Image width 240 mm. Slice 86 of 155. Axial slice. 240x240. Brain.
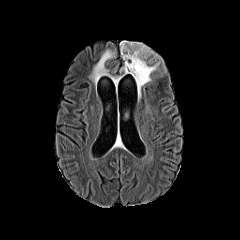
FLAIR MR image.
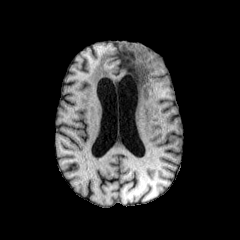
T1-weighted magnetic resonance.
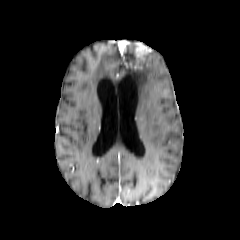
Post-contrast T1-weighted MRI of the same slice.
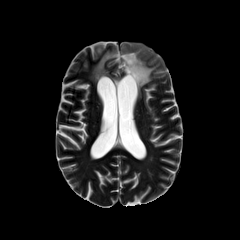
Same slice, T2-weighted MR.
2 peritumoral edema regions are located at 121,51,159,97; 90,50,121,83. The enhancing tumor is located at 119,41,151,69. The necrotic tumor core lies within 123,44,139,63.